Slice index 88 | Image covers 240 mm x 240 mm | Axial slice
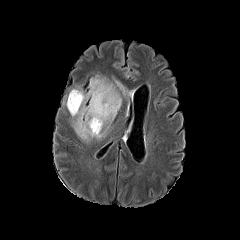
FLAIR magnetic resonance.
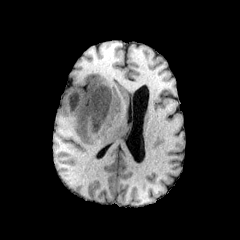
T1-weighted MR.
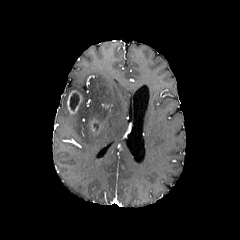
Post-contrast T1-weighted MR image of the same slice.
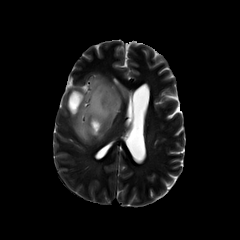
T2-weighted magnetic resonance.
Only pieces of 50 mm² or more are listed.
enhancing tumor — 89, 118, 101, 134; 67, 90, 82, 114
peritumoral edema — 71, 75, 127, 140
necrotic tumor core — 70, 93, 79, 110